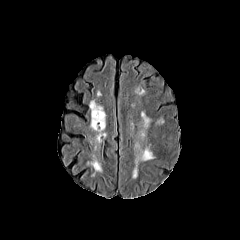
FLAIR MR image.
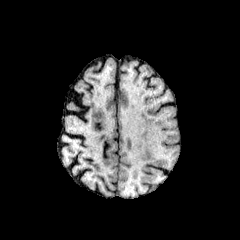
T1-weighted MRI of the same slice.
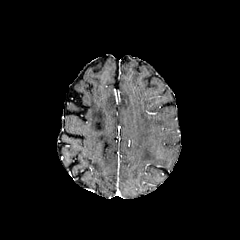
Post-contrast T1-weighted MR image of the same slice.
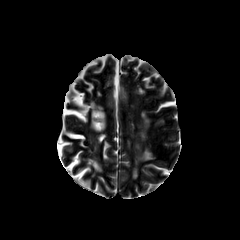
T2-weighted MRI of the same slice.
Axial slice | 240x240 px
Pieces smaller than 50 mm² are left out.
peritumoral_edema:
  - bbox(133, 148, 153, 178)
  - bbox(141, 112, 149, 127)